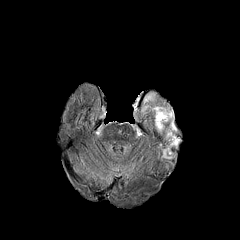
FLAIR magnetic resonance.
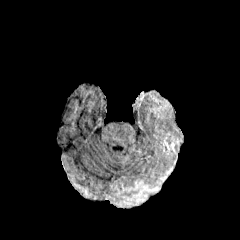
Same slice, T1-weighted MRI.
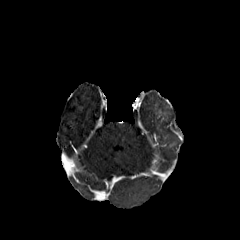
Post-contrast T1-weighted MR of the same slice.
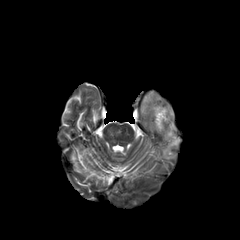
T2-weighted MR of the same slice.
Image size 240x240. Axial plane.
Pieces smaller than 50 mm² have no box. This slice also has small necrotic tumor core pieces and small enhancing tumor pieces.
peritumoral edema at 155 107 166 129